FLAIR MR image.
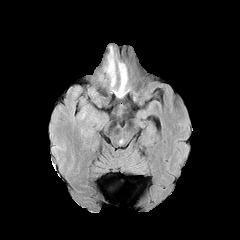
T1-weighted MR image.
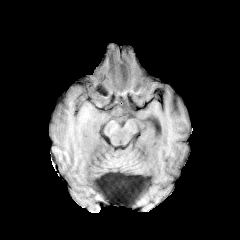
Post-contrast T1-weighted MRI.
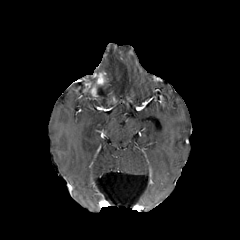
T2-weighted magnetic resonance.
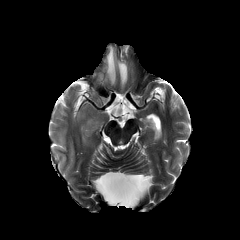
Brain
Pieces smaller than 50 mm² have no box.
enhancing tumor at 90:72:108:97
peritumoral edema at 103:47:127:97